FLAIR MRI.
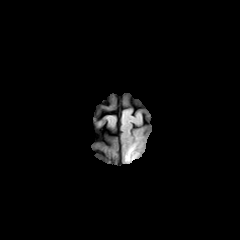
T1-weighted MRI.
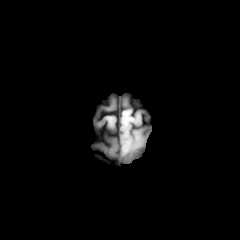
Post-contrast T1-weighted MR.
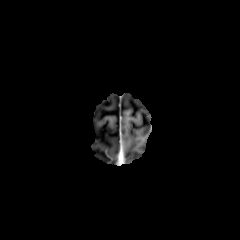
T2-weighted MR image.
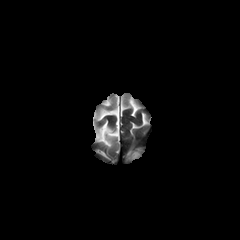
240x240 | Axial plane | Brain
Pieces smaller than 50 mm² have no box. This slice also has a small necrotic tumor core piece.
<segmentation>
  <peritumoral_edema>125:144:135:161</peritumoral_edema>
  <enhancing_tumor>131:149:143:159</enhancing_tumor>
</segmentation>